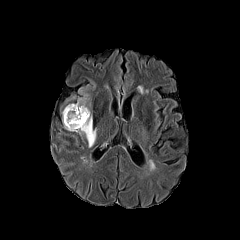
FLAIR MR image.
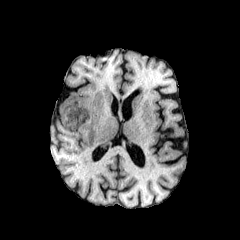
Same slice, T1-weighted MR.
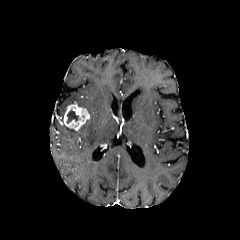
Post-contrast T1-weighted MR image of the same slice.
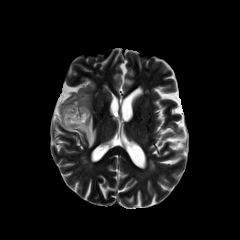
T2-weighted MR image.
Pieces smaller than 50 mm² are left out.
The enhancing tumor appears at box=[63, 104, 89, 131]. The largest peritumoral edema region is located at box=[77, 85, 96, 147]. The largest necrotic tumor core region appears at box=[66, 110, 78, 123].